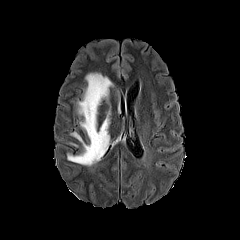
FLAIR MR image.
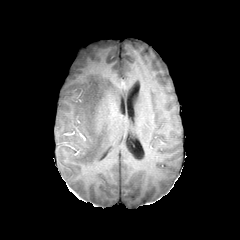
T1-weighted MRI.
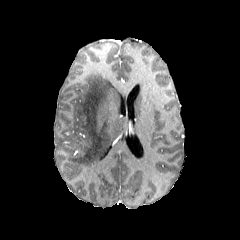
Post-contrast T1-weighted MR.
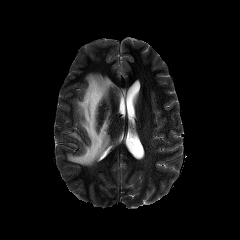
Same slice, T2-weighted MRI.
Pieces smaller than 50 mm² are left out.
peritumoral edema = <bbox>67, 73, 112, 166</bbox>